FLAIR magnetic resonance.
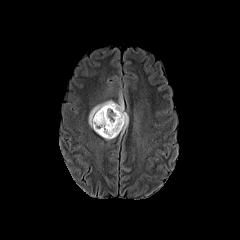
T1-weighted magnetic resonance.
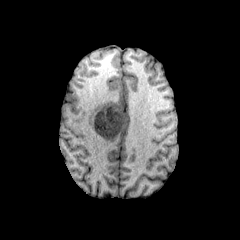
Post-contrast T1-weighted MR image.
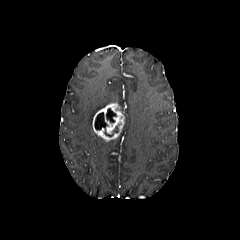
T2-weighted MRI.
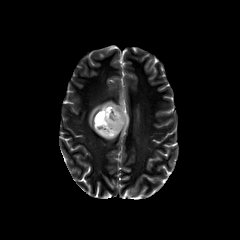
2 necrotic tumor core regions are bounded by [106,108,116,122], [95,112,118,136]. 3 peritumoral edema regions are located at [88,100,113,128], [120,112,128,137], [118,93,123,111]. The enhancing tumor lies within [92,102,124,140].